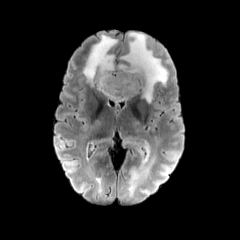
FLAIR MR.
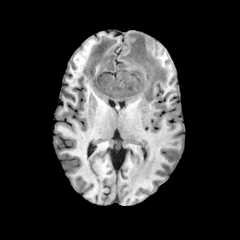
Same slice, T1-weighted magnetic resonance.
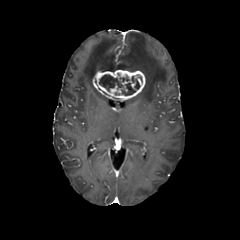
Post-contrast T1-weighted MR image.
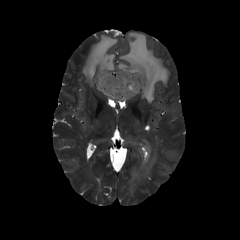
Same slice, T2-weighted magnetic resonance.
Axial view. Brain.
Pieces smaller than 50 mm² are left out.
- enhancing tumor: 93,69,145,100
- necrotic tumor core: 99,74,122,91; 131,76,139,89; 122,83,135,95
- peritumoral edema: 83,35,117,86; 116,32,168,102; 129,140,155,197